Axial view; Slice index 81; Brain; Image covers 240 mm x 240 mm
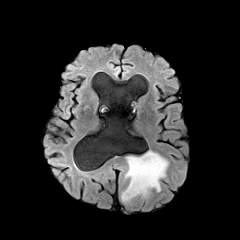
FLAIR magnetic resonance.
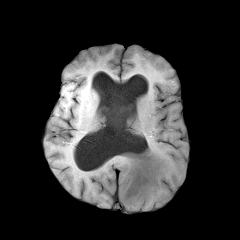
Same slice, T1-weighted MR image.
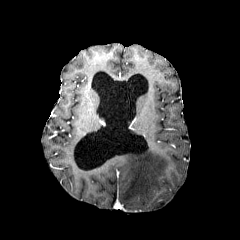
Post-contrast T1-weighted MR.
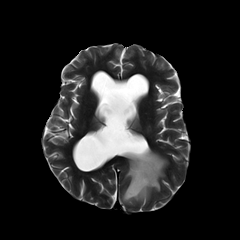
T2-weighted magnetic resonance.
peritumoral edema = l=121, t=150, r=169, b=203